Image width 240 mm, 1.00 mm slice spacing, Head
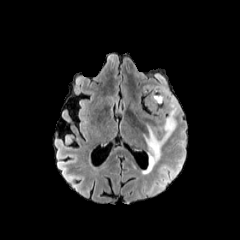
FLAIR MR.
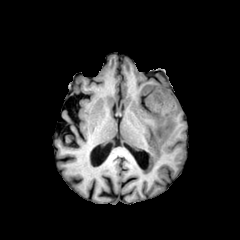
T1-weighted MR image.
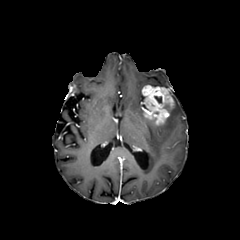
Post-contrast T1-weighted MRI of the same slice.
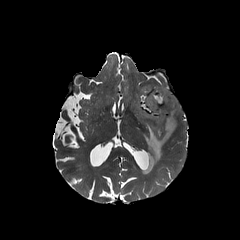
T2-weighted magnetic resonance.
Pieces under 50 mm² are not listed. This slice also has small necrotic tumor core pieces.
peritumoral edema — 142,92,179,173
enhancing tumor — 142,85,174,125